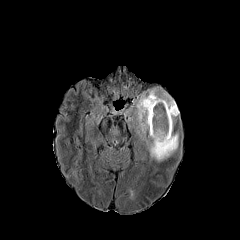
FLAIR MR image.
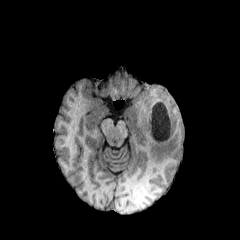
T1-weighted magnetic resonance.
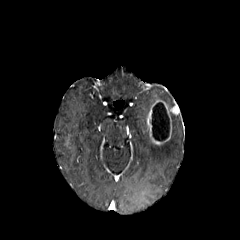
Post-contrast T1-weighted MR.
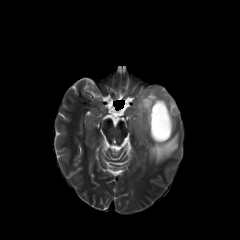
T2-weighted MRI of the same slice.
Head
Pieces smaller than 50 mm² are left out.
* necrotic tumor core: bbox=[151, 102, 169, 141]
* enhancing tumor: bbox=[145, 99, 179, 145]
* peritumoral edema: bbox=[135, 88, 178, 162]